FLAIR MRI.
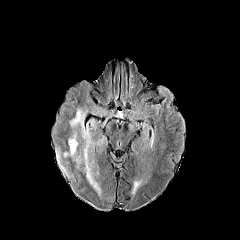
T1-weighted MRI.
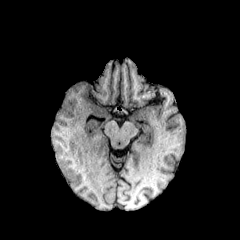
Post-contrast T1-weighted MR image.
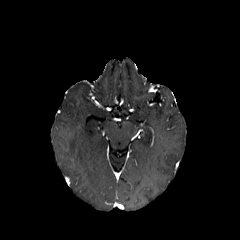
T2-weighted MR.
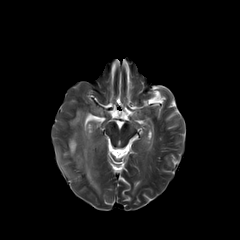
Head. Axial view. 240x240.
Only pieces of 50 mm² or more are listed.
The 3 largest peritumoral edema regions are bounded by x1=69, y1=133, x2=77, y2=156; x1=70, y1=109, x2=104, y2=194; x1=57, y1=147, x2=76, y2=177.